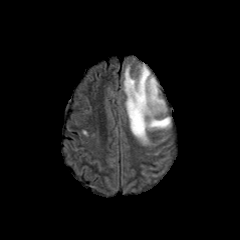
FLAIR MR image.
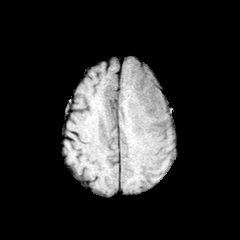
T1-weighted MR image.
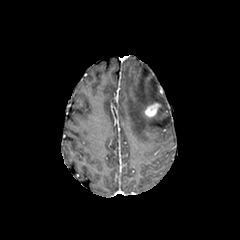
Same slice, post-contrast T1-weighted MR.
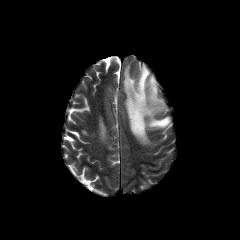
Same slice, T2-weighted MR.
Head. 240x240. Axial slice.
peritumoral edema at 123 65 170 144
enhancing tumor at 144 103 160 117